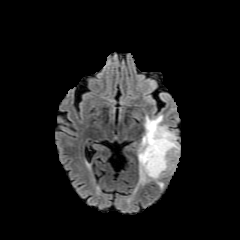
FLAIR MR.
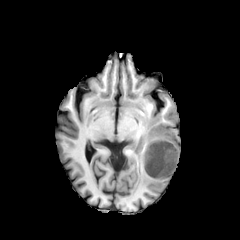
Same slice, T1-weighted MR image.
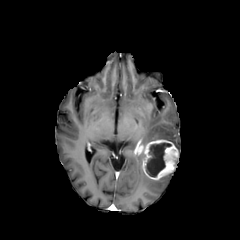
Post-contrast T1-weighted magnetic resonance.
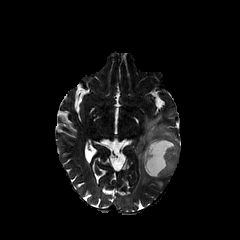
Same slice, T2-weighted MR.
240x240 px.
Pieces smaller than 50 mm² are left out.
enhancing tumor: bounding box (left=142, top=139, right=178, bottom=179)
peritumoral edema: bounding box (left=138, top=114, right=179, bottom=184)
necrotic tumor core: bounding box (left=146, top=143, right=171, bottom=177)